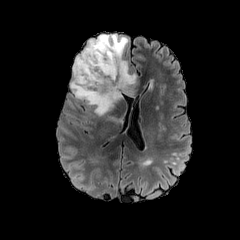
FLAIR MR.
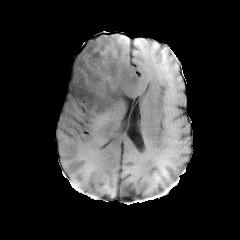
T1-weighted magnetic resonance.
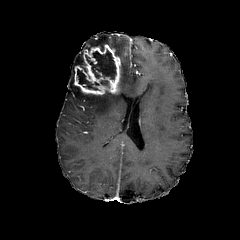
Same slice, post-contrast T1-weighted magnetic resonance.
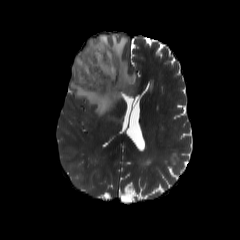
T2-weighted MR image.
Brain. Axial plane.
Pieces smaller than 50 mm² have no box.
peritumoral_edema:
  - box(70, 34, 135, 115)
enhancing_tumor:
  - box(73, 44, 121, 95)
necrotic_tumor_core:
  - box(77, 68, 97, 89)
  - box(85, 50, 116, 79)